FLAIR MRI.
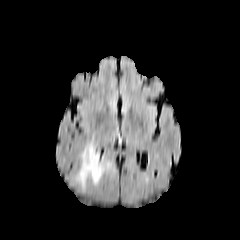
T1-weighted MR.
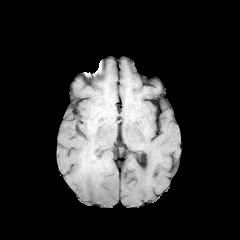
Post-contrast T1-weighted magnetic resonance.
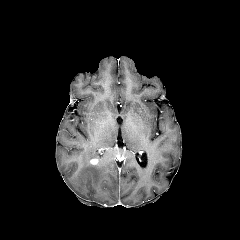
T2-weighted magnetic resonance.
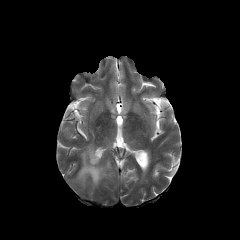
Head | Axial plane
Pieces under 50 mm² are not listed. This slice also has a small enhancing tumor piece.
peritumoral edema: x1=76, y1=144, x2=117, y2=187